Slice 77 of 155 | Image width 240 mm
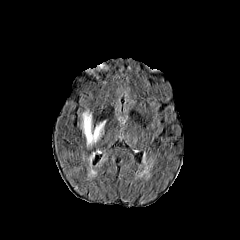
FLAIR MR.
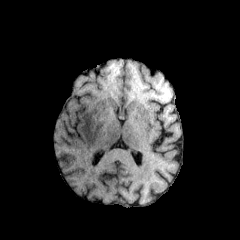
T1-weighted MRI.
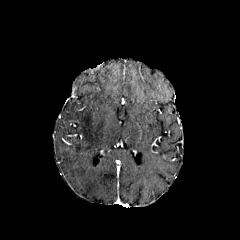
Post-contrast T1-weighted magnetic resonance.
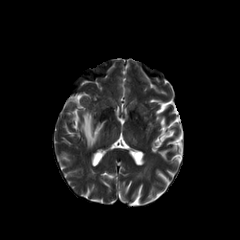
Same slice, T2-weighted MR.
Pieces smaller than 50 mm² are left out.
peritumoral edema: bbox=[87, 152, 96, 177]; bbox=[81, 110, 106, 146]